Axial plane. 240x240.
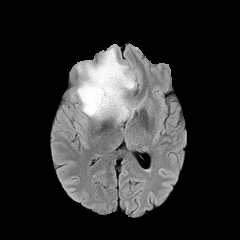
FLAIR magnetic resonance.
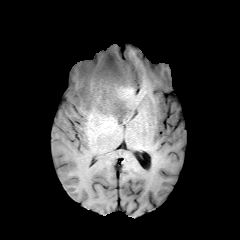
T1-weighted MR of the same slice.
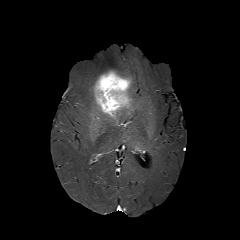
Post-contrast T1-weighted magnetic resonance.
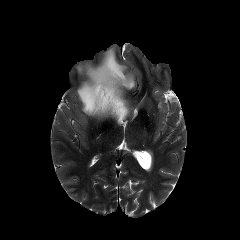
T2-weighted MR image of the same slice.
enhancing tumor = 94, 70, 131, 117
peritumoral edema = 114, 100, 135, 123; 75, 45, 136, 118